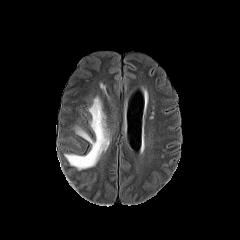
FLAIR MRI.
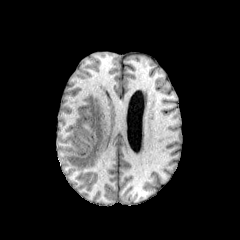
T1-weighted MR image.
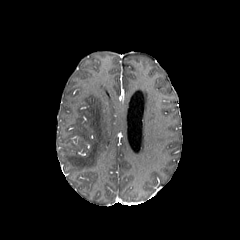
Post-contrast T1-weighted MR image.
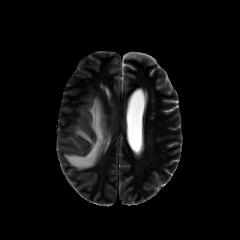
Same slice, T2-weighted MR image.
Axial view | Brain
Annotated regions:
* peritumoral edema: [63,94,110,171], [100,81,109,98]